FLAIR MR image.
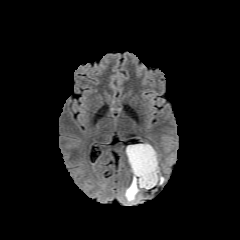
T1-weighted MRI.
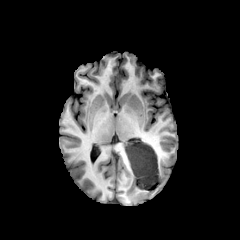
Post-contrast T1-weighted MR image.
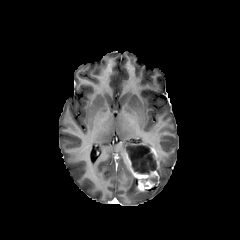
T2-weighted MRI.
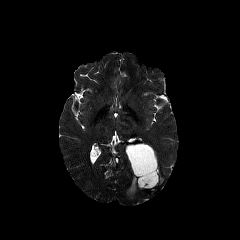
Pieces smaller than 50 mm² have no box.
{"peritumoral_edema": ["x1=157, y1=167, x2=164, y2=184", "x1=125, y1=176, x2=140, y2=201"], "necrotic_tumor_core": ["x1=126, y1=145, x2=156, y2=174"], "enhancing_tumor": ["x1=126, y1=153, x2=159, y2=190", "x1=150, y1=147, x2=158, y2=168"]}